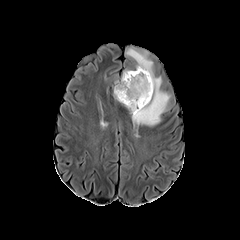
FLAIR MR.
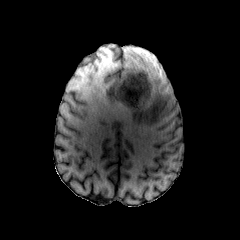
T1-weighted MRI.
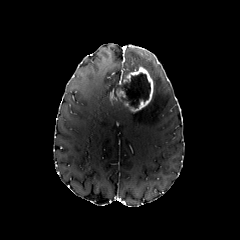
Post-contrast T1-weighted MR.
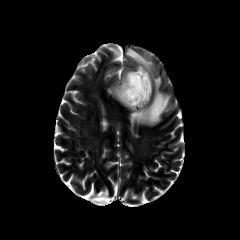
T2-weighted MRI of the same slice.
Axial plane | Head
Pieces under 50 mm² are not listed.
{"enhancing_tumor": ["<bbox>115, 67, 153, 112</bbox>"], "peritumoral_edema": ["<bbox>129, 51, 169, 126</bbox>"], "necrotic_tumor_core": ["<bbox>119, 73, 150, 108</bbox>"]}